Brain. Axial slice. Slice 37 of 155.
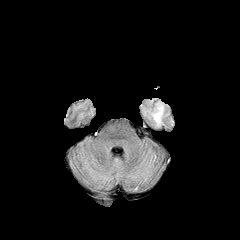
FLAIR magnetic resonance.
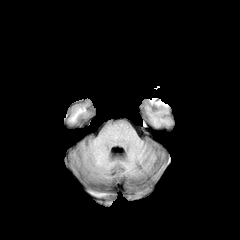
T1-weighted MRI of the same slice.
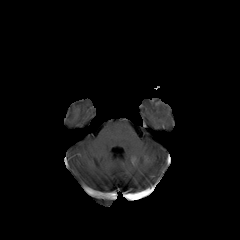
Post-contrast T1-weighted MR of the same slice.
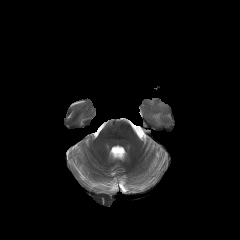
Same slice, T2-weighted magnetic resonance.
peritumoral_edema:
  - [152,103,163,124]